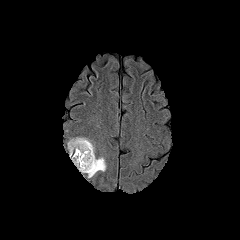
FLAIR MR image.
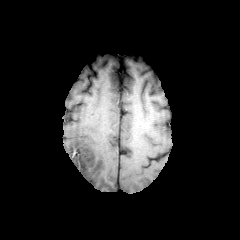
T1-weighted magnetic resonance.
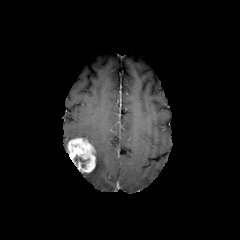
Post-contrast T1-weighted magnetic resonance.
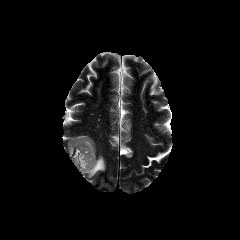
Same slice, T2-weighted MRI.
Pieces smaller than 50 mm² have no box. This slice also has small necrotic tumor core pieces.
peritumoral edema: bbox=[87, 157, 106, 177] | enhancing tumor: bbox=[67, 138, 95, 172]